FLAIR magnetic resonance.
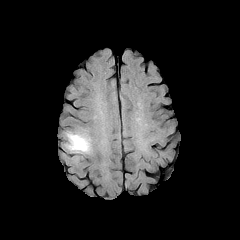
T1-weighted magnetic resonance.
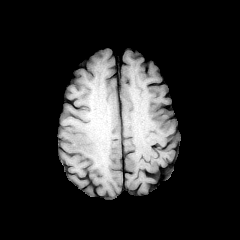
Post-contrast T1-weighted MR.
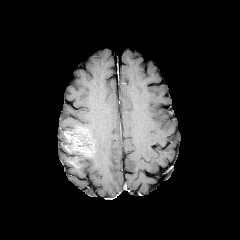
T2-weighted MR.
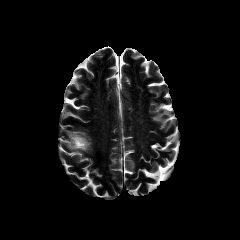
Head
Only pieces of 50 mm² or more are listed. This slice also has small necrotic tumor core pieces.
enhancing_tumor:
  - <box>65,128,91,155</box>
peritumoral_edema:
  - <box>84,133,92,152</box>